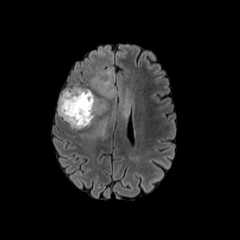
FLAIR MRI.
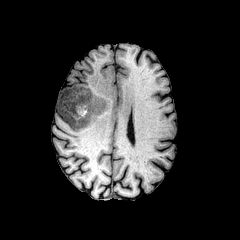
T1-weighted MRI.
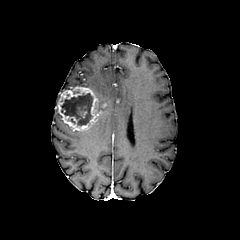
Post-contrast T1-weighted magnetic resonance.
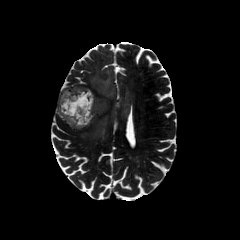
T2-weighted MRI of the same slice.
Axial plane. Brain.
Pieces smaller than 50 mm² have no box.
The largest enhancing tumor region is bounded by bbox(57, 86, 106, 130). The largest necrotic tumor core region is at bbox(61, 93, 92, 125). The 3 largest peritumoral edema regions are bounded by bbox(95, 115, 108, 135); bbox(119, 90, 132, 118); bbox(90, 51, 116, 98).